FLAIR MR.
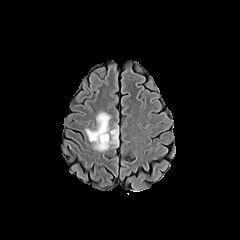
T1-weighted MRI.
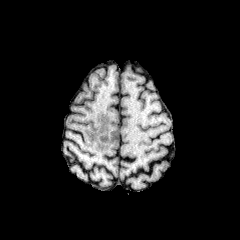
Post-contrast T1-weighted MR image.
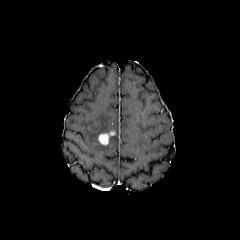
T2-weighted MR.
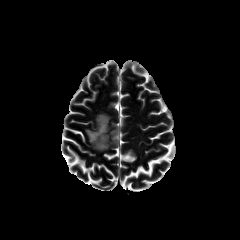
Image size 240x240.
The peritumoral edema is located at <box>85,112,118,151</box>. The enhancing tumor is located at <box>98,130,115,145</box>.